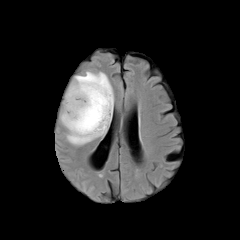
FLAIR MRI.
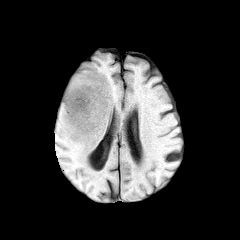
T1-weighted MR.
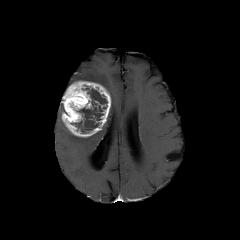
Post-contrast T1-weighted magnetic resonance.
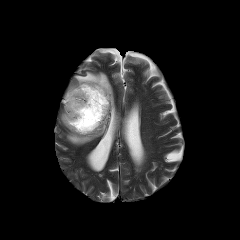
T2-weighted MRI.
Axial view
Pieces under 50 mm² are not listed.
The largest necrotic tumor core region is at x1=72, y1=89, x2=107, y2=132. The enhancing tumor lies within x1=62, y1=80, x2=111, y2=137. The largest peritumoral edema region is located at x1=66, y1=71, x2=114, y2=145.